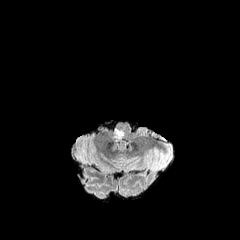
FLAIR magnetic resonance.
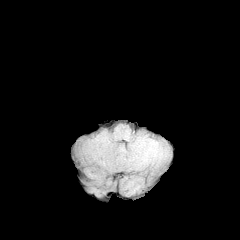
T1-weighted MR.
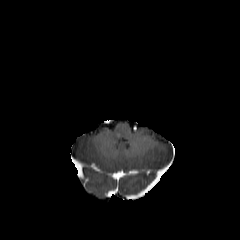
Same slice, post-contrast T1-weighted MR image.
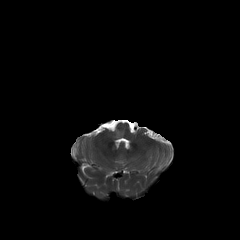
T2-weighted magnetic resonance of the same slice.
Brain | Axial view
The peritumoral edema lies within <box>112,128,124,141</box>.